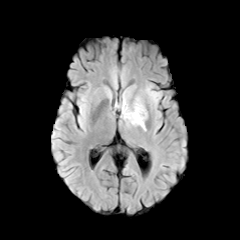
FLAIR MR image.
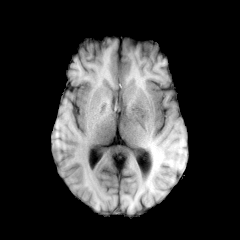
Same slice, T1-weighted MRI.
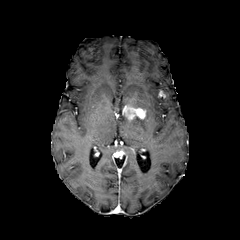
Post-contrast T1-weighted MR image.
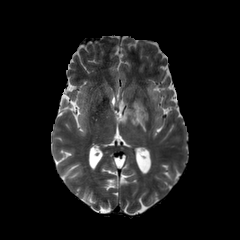
T2-weighted magnetic resonance.
Head
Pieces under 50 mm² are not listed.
peritumoral edema: (116,95,129,110), (121,112,147,130), (130,98,144,108), (147,88,158,102)
enhancing tumor: (158,90,165,98), (122,105,146,120)